FLAIR MR.
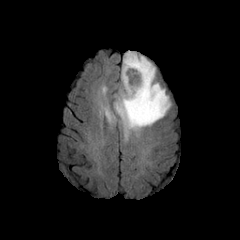
T1-weighted magnetic resonance.
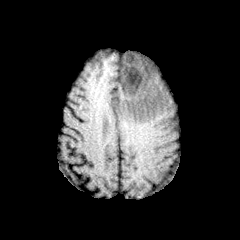
Post-contrast T1-weighted MR.
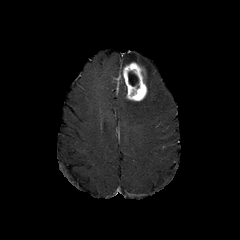
T2-weighted MR image.
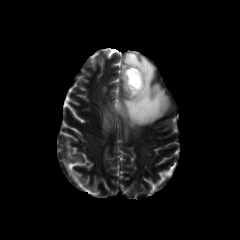
Head
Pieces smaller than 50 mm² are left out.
<segmentation>
  <enhancing_tumor>box(122, 62, 147, 101)</enhancing_tumor>
  <necrotic_tumor_core>box(128, 72, 138, 85)</necrotic_tumor_core>
  <peritumoral_edema>box(105, 109, 113, 120); box(114, 52, 170, 129)</peritumoral_edema>
</segmentation>